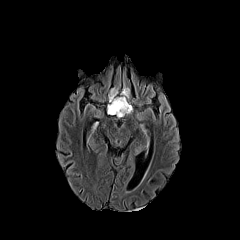
FLAIR magnetic resonance.
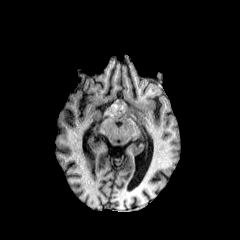
Same slice, T1-weighted MR.
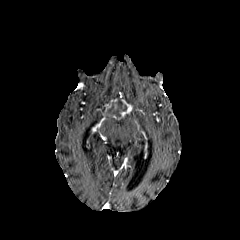
Post-contrast T1-weighted MR.
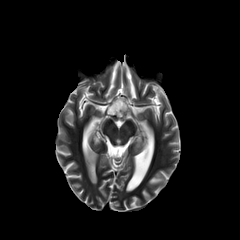
Same slice, T2-weighted magnetic resonance.
Axial view | 240x240 px
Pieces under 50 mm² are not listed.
The necrotic tumor core appears at [108, 98, 127, 116]. 2 enhancing tumor regions appear at [107, 99, 117, 115], [117, 97, 131, 118]. The 2 largest peritumoral edema regions appear at [121, 87, 129, 101], [109, 88, 120, 103].